FLAIR MRI.
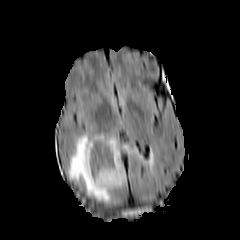
T1-weighted MR image.
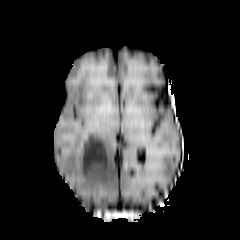
Post-contrast T1-weighted magnetic resonance.
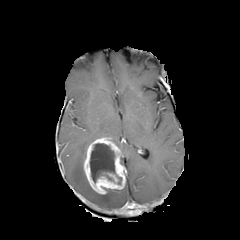
T2-weighted MRI.
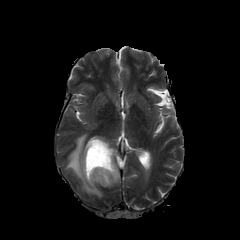
Head, Image size 240x240
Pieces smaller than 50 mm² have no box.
peritumoral_edema:
  - (108, 136, 136, 154)
  - (68, 134, 111, 202)
necrotic_tumor_core:
  - (90, 143, 115, 182)
enhancing_tumor:
  - (83, 137, 125, 194)